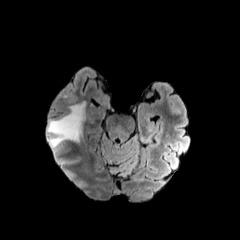
FLAIR MRI.
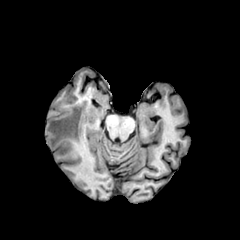
T1-weighted magnetic resonance.
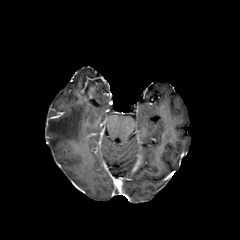
Post-contrast T1-weighted magnetic resonance of the same slice.
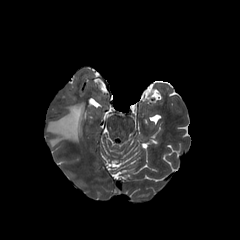
T2-weighted magnetic resonance.
Head
peritumoral edema = bbox=[47, 103, 85, 151]